FLAIR MRI.
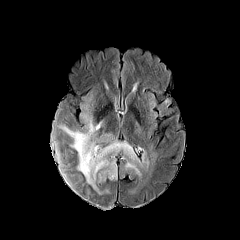
T1-weighted magnetic resonance.
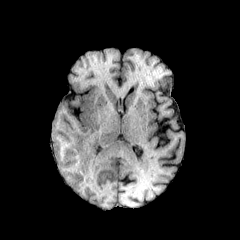
Post-contrast T1-weighted magnetic resonance.
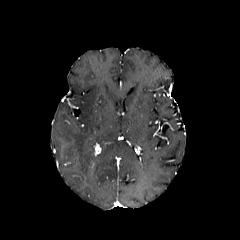
T2-weighted MR.
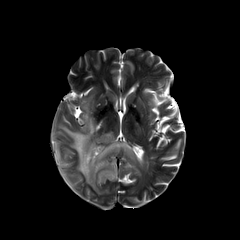
Axial view.
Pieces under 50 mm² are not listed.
Annotated regions:
• enhancing tumor: bbox=[94, 144, 101, 154]
• peritumoral edema: bbox=[61, 100, 139, 193]; bbox=[55, 142, 64, 164]; bbox=[63, 169, 81, 180]